Slice 98/155, Axial plane
FLAIR MRI.
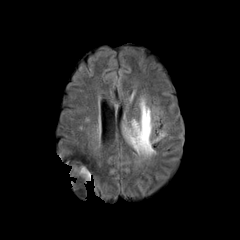
T1-weighted MR image.
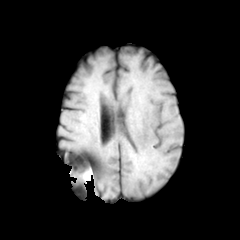
Post-contrast T1-weighted MR.
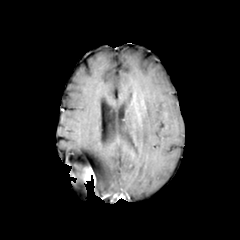
T2-weighted MR.
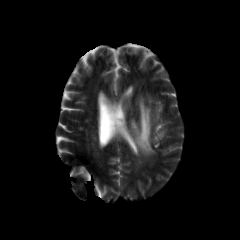
peritumoral edema: (left=122, top=97, right=165, bottom=158)